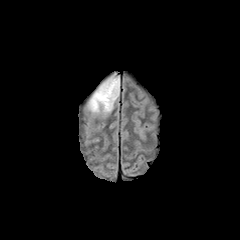
FLAIR MRI.
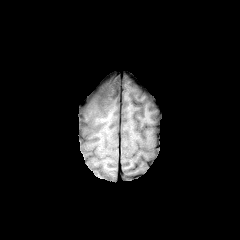
Same slice, T1-weighted MR.
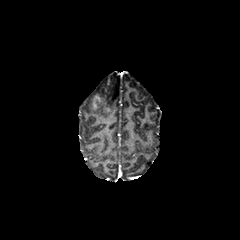
Post-contrast T1-weighted MRI.
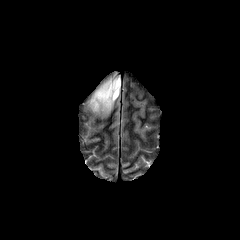
T2-weighted MRI.
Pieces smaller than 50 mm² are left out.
peritumoral edema: box(88, 76, 119, 115) | enhancing tumor: box(93, 93, 108, 106)